Slice 63/155
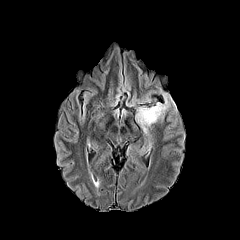
FLAIR MR.
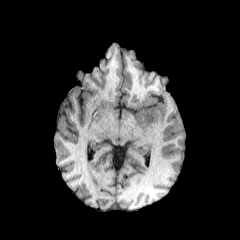
T1-weighted MRI.
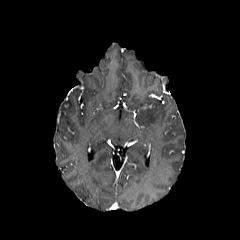
Post-contrast T1-weighted magnetic resonance.
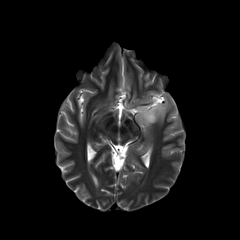
T2-weighted MR of the same slice.
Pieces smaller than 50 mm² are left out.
<segmentation>
  <peritumoral_edema>136, 94, 169, 134</peritumoral_edema>
</segmentation>